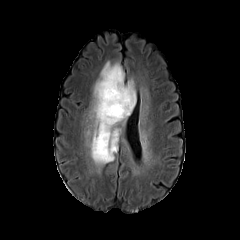
FLAIR MR image.
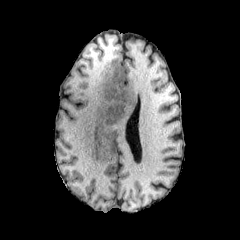
T1-weighted MR.
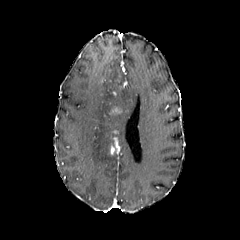
Post-contrast T1-weighted MRI.
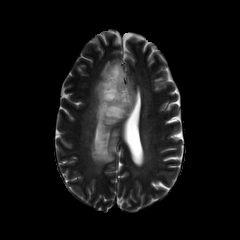
T2-weighted MR image.
Head
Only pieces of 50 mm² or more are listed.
- enhancing tumor: 109,105,123,115; 110,137,118,154
- peritumoral edema: 90,61,136,165